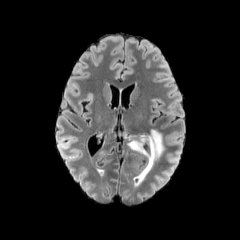
FLAIR magnetic resonance.
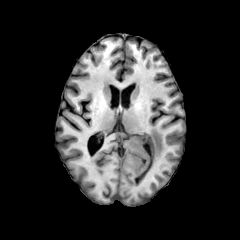
T1-weighted MR image.
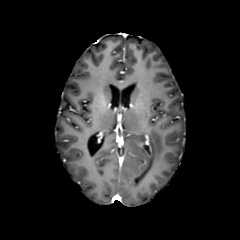
Post-contrast T1-weighted MRI of the same slice.
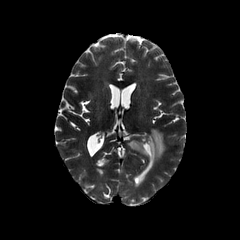
T2-weighted MR image.
Brain
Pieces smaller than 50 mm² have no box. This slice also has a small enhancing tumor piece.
Findings:
• peritumoral edema: x1=127 y1=129 x2=164 y2=186